FLAIR MR.
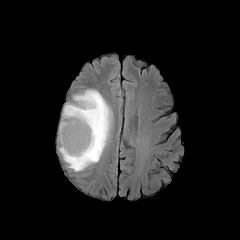
T1-weighted MR image.
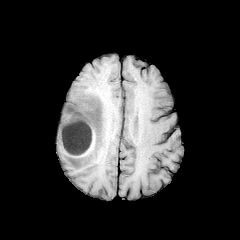
Post-contrast T1-weighted MRI.
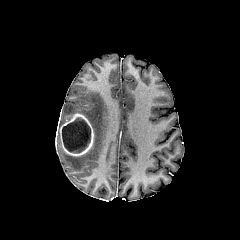
T2-weighted MR.
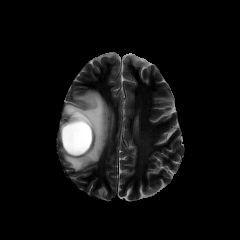
Axial view | Image size 240x240
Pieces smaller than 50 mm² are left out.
• enhancing tumor: x1=59 y1=112 x2=93 y2=156
• peritumoral edema: x1=59 y1=90 x2=112 y2=171
• necrotic tumor core: x1=62 y1=118 x2=90 y2=152